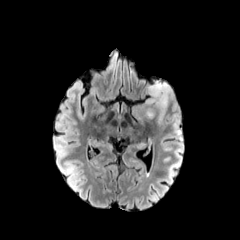
FLAIR MR image.
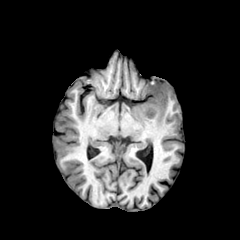
T1-weighted magnetic resonance of the same slice.
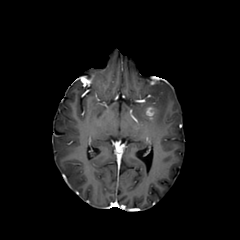
Post-contrast T1-weighted MR image.
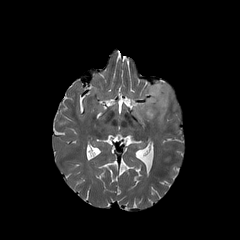
T2-weighted MR.
Brain
{
  "peritumoral_edema": [
    "x1=133 y1=81 x2=171 y2=123"
  ],
  "enhancing_tumor": [
    "x1=146 y1=106 x2=156 y2=119"
  ]
}